FLAIR MR image.
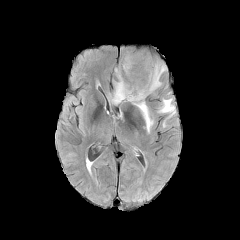
T1-weighted magnetic resonance.
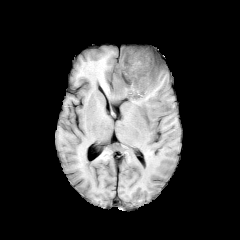
Post-contrast T1-weighted magnetic resonance.
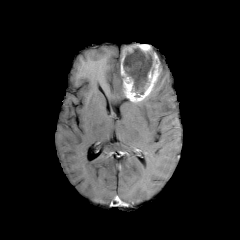
T2-weighted MRI.
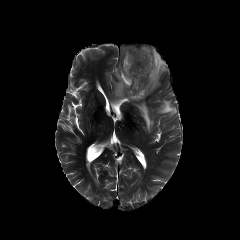
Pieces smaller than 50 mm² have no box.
The 3 largest peritumoral edema regions are bounded by {"x1": 158, "y1": 99, "x2": 175, "y2": 117}, {"x1": 113, "y1": 67, "x2": 125, "y2": 103}, {"x1": 131, "y1": 99, "x2": 154, "y2": 132}. The enhancing tumor lies within {"x1": 120, "y1": 45, "x2": 161, "y2": 102}. The largest necrotic tumor core region is bounded by {"x1": 123, "y1": 47, "x2": 152, "y2": 94}.